Brain, Slice index 121, Axial slice
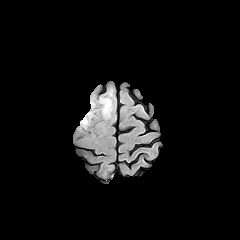
FLAIR MRI.
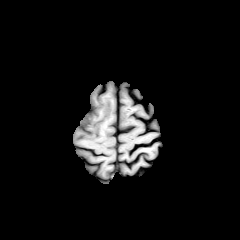
T1-weighted MR.
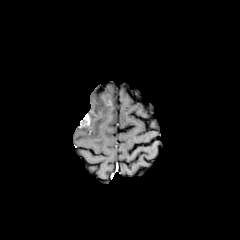
Post-contrast T1-weighted MRI.
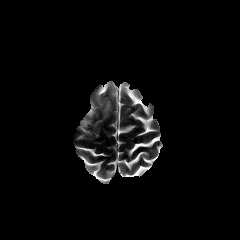
T2-weighted magnetic resonance of the same slice.
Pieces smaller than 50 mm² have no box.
Annotated regions:
• enhancing tumor: x1=80, y1=110, x2=93, y2=127
• peritumoral edema: x1=100, y1=98, x2=111, y2=117